Brain | Slice 90/155 | Axial view
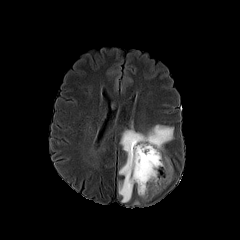
FLAIR MR.
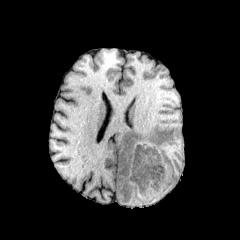
T1-weighted MR image of the same slice.
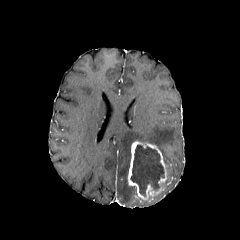
Same slice, post-contrast T1-weighted MR image.
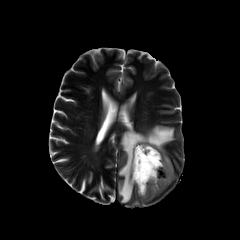
T2-weighted MR image.
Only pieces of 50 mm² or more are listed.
{
  "necrotic_tumor_core": [
    "[x1=131, y1=145, x2=164, y2=195]"
  ],
  "enhancing_tumor": [
    "[x1=127, y1=141, x2=167, y2=200]"
  ],
  "peritumoral_edema": [
    "[x1=161, y1=157, x2=172, y2=190]",
    "[x1=118, y1=125, x2=173, y2=202]"
  ]
}